FLAIR MR image.
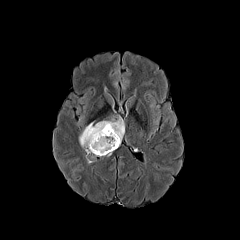
T1-weighted MR image.
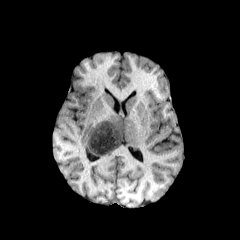
Post-contrast T1-weighted magnetic resonance.
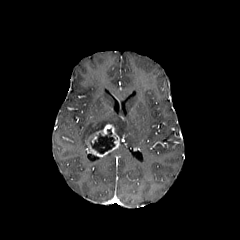
T2-weighted MR.
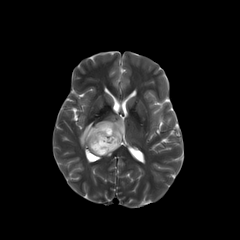
Axial plane; Brain; 240x240 px
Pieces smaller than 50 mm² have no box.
necrotic_tumor_core:
  - 89,129,115,153
enhancing_tumor:
  - 86,124,119,156
peritumoral_edema:
  - 79,117,124,148